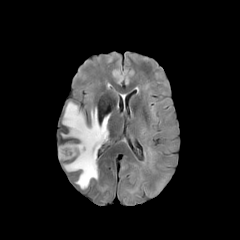
FLAIR magnetic resonance.
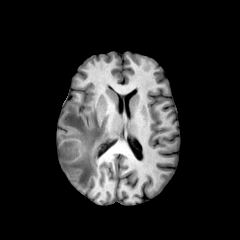
Same slice, T1-weighted MRI.
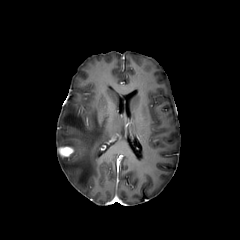
Post-contrast T1-weighted MR image of the same slice.
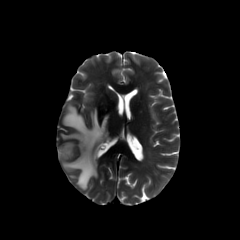
Same slice, T2-weighted MR image.
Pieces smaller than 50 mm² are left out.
<segmentation>
  <enhancing_tumor><bbox>58, 146, 74, 157</bbox></enhancing_tumor>
  <peritumoral_edema><bbox>62, 103, 109, 189</bbox></peritumoral_edema>
</segmentation>